Head; Image covers 240 mm x 240 mm; Axial plane; Slice 78 of 155
FLAIR magnetic resonance.
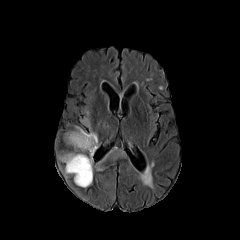
T1-weighted MR.
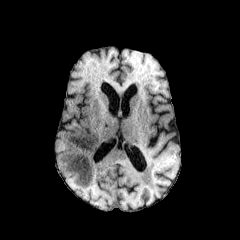
Post-contrast T1-weighted MRI.
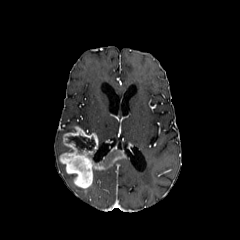
T2-weighted MRI.
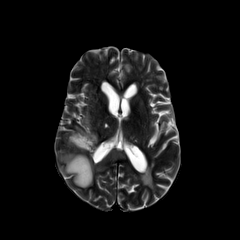
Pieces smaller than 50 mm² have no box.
The largest enhancing tumor region lies within left=59, top=126, right=127, bottom=188. The largest peritumoral edema region lies within left=79, top=114, right=94, bottom=134. The largest necrotic tumor core region is at left=67, top=136, right=95, bottom=152.